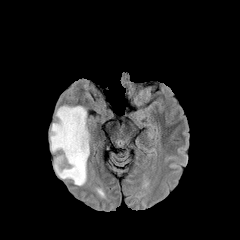
FLAIR MRI.
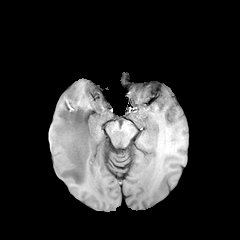
T1-weighted MRI.
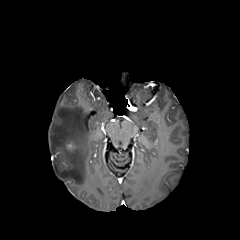
Same slice, post-contrast T1-weighted magnetic resonance.
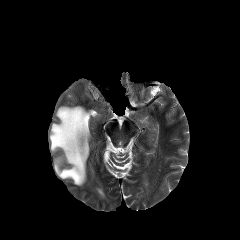
T2-weighted MRI of the same slice.
240x240 px
The peritumoral edema appears at <bbox>50, 106, 89, 185</bbox>. The enhancing tumor lies within <bbox>66, 143, 76, 149</bbox>.